FLAIR MR image.
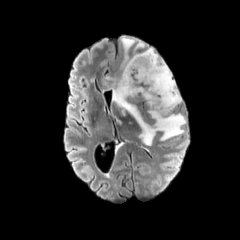
T1-weighted MR.
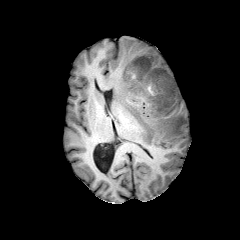
Post-contrast T1-weighted magnetic resonance.
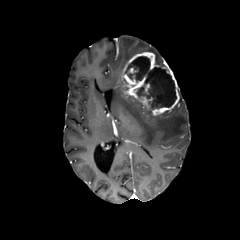
T2-weighted magnetic resonance.
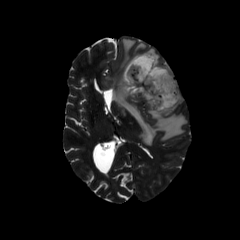
Head
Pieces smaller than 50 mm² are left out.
{"peritumoral_edema": ["x1=102, y1=36, x2=186, y2=145"], "enhancing_tumor": ["x1=121, y1=52, x2=179, y2=115"], "necrotic_tumor_core": ["x1=125, y1=56, x2=176, y2=109"]}